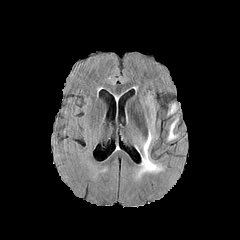
FLAIR MRI.
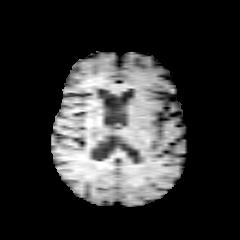
Same slice, T1-weighted MRI.
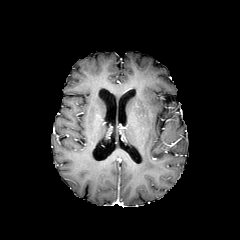
Post-contrast T1-weighted MR image.
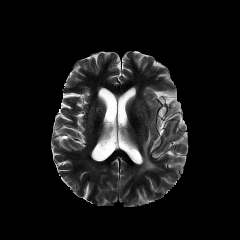
T2-weighted MR image.
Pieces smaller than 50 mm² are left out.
{
  "peritumoral_edema": [
    "<box>140,131,161,172</box>",
    "<box>168,121,176,139</box>"
  ]
}